Image covers 240 mm x 240 mm | Brain
FLAIR MR.
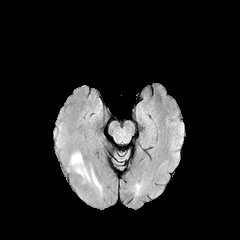
T1-weighted MRI.
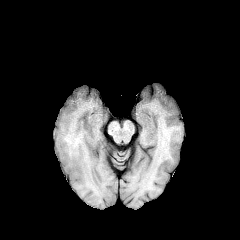
Post-contrast T1-weighted MR image.
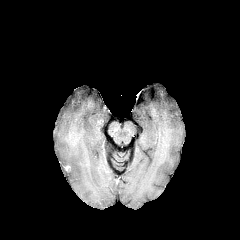
T2-weighted magnetic resonance.
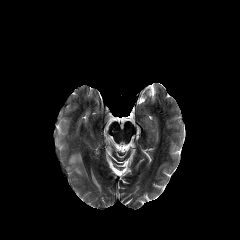
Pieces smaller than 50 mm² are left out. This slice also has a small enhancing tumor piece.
{"peritumoral_edema": ["<bbox>69, 152, 101, 190</bbox>"]}